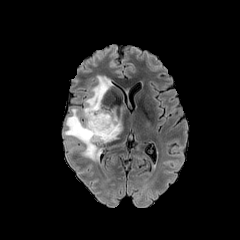
FLAIR magnetic resonance.
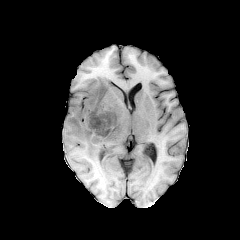
T1-weighted MR.
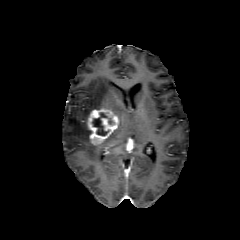
Same slice, post-contrast T1-weighted magnetic resonance.
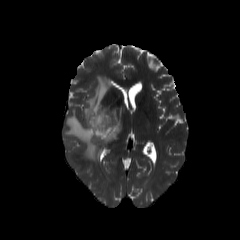
T2-weighted magnetic resonance.
Axial slice | Head
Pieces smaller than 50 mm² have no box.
Segmented structures:
- enhancing tumor: <box>87,107,119,145</box>
- peritumoral edema: <box>64,75,112,161</box>, <box>101,119,122,144</box>
- necrotic tumor core: <box>92,112,108,135</box>